FLAIR MR.
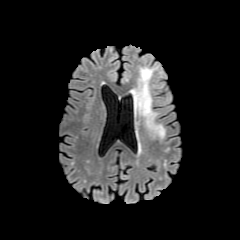
T1-weighted MR image.
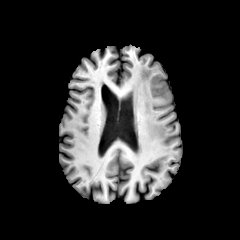
Post-contrast T1-weighted MRI.
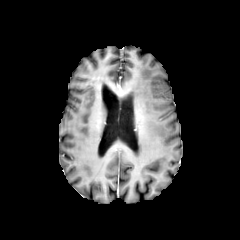
T2-weighted MR.
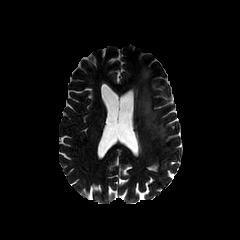
Image size 240x240.
The peritumoral edema is at (135, 67, 165, 138).